Axial slice. Head.
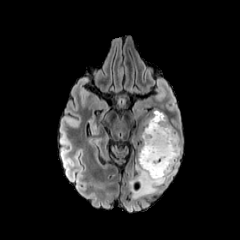
FLAIR magnetic resonance.
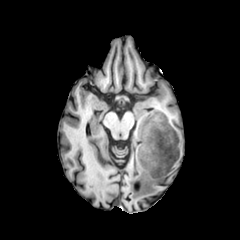
T1-weighted MR image.
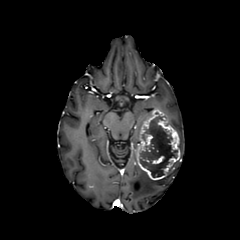
Same slice, post-contrast T1-weighted MRI.
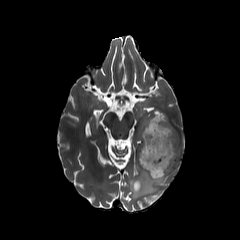
Same slice, T2-weighted MRI.
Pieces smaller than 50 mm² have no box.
The 2 largest enhancing tumor regions appear at 152,156,163,163; 136,109,180,180. The largest necrotic tumor core region is bounded by 140,116,177,177. 2 peritumoral edema regions are bounded by 129,160,179,198; 178,132,182,155.